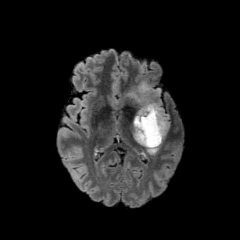
FLAIR MR.
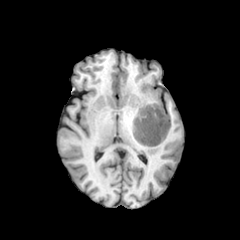
T1-weighted magnetic resonance.
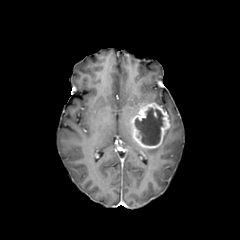
Same slice, post-contrast T1-weighted MR.
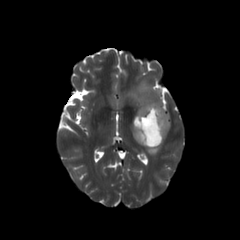
T2-weighted MR image of the same slice.
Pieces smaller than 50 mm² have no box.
necrotic tumor core at x1=135, y1=108, x2=163, y2=145
peritumoral edema at x1=127, y1=81, x2=161, y2=105; x1=145, y1=145, x2=160, y2=154
enhancing tumor at x1=132, y1=103, x2=170, y2=148